240x240. Slice 88/155. Image covers 240 mm x 240 mm. Axial plane.
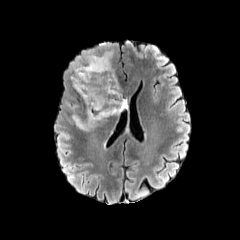
FLAIR MR.
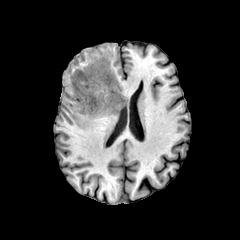
Same slice, T1-weighted MR image.
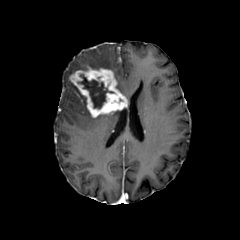
Post-contrast T1-weighted magnetic resonance of the same slice.
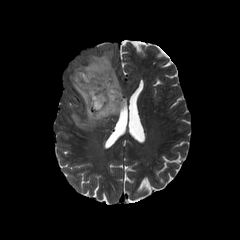
Same slice, T2-weighted MRI.
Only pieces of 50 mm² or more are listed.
The 4 largest peritumoral edema regions appear at 72,61,86,72; 87,50,115,77; 72,83,86,105; 67,104,121,130. The enhancing tumor is bounded by 70,66,127,117. The necrotic tumor core is at 78,74,113,108.